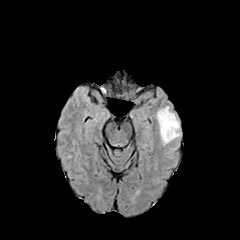
FLAIR MR image.
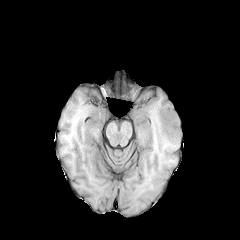
T1-weighted MRI of the same slice.
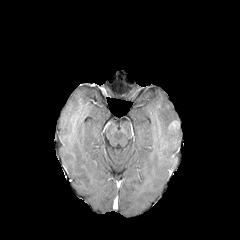
Post-contrast T1-weighted magnetic resonance.
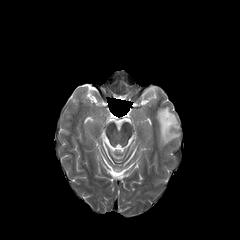
T2-weighted MR of the same slice.
Axial view; Brain
The peritumoral edema is located at box=[156, 106, 180, 144]. The enhancing tumor is at box=[168, 120, 179, 131].